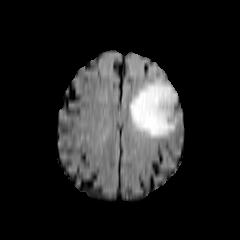
FLAIR MR.
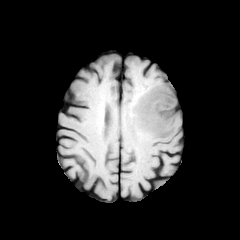
Same slice, T1-weighted MRI.
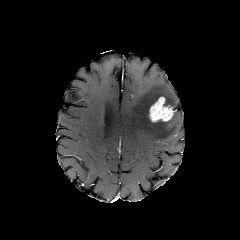
Same slice, post-contrast T1-weighted magnetic resonance.
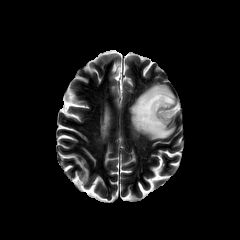
T2-weighted MR image.
Axial view | Image size 240x240 | Brain
peritumoral edema at rect(130, 81, 176, 139)
enhancing tumor at rect(148, 96, 175, 122)